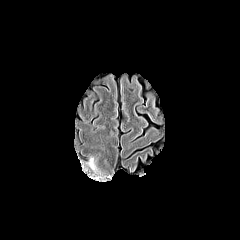
FLAIR MR.
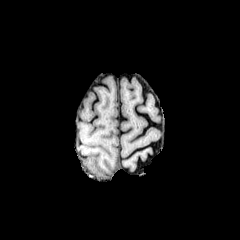
T1-weighted MRI.
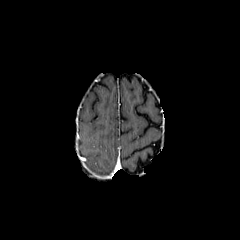
Same slice, post-contrast T1-weighted MR.
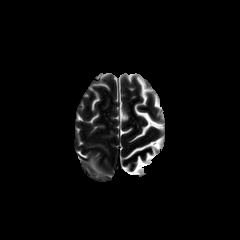
T2-weighted MR image.
Axial slice
The peritumoral edema is located at (88, 158, 96, 171).